Brain
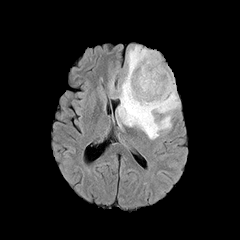
FLAIR MRI.
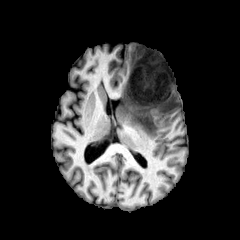
T1-weighted MRI.
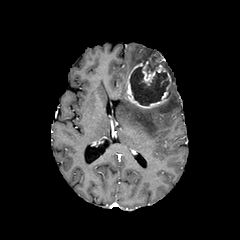
Post-contrast T1-weighted MRI.
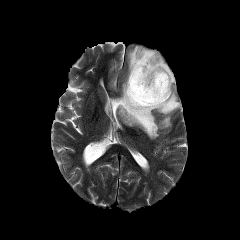
T2-weighted MRI.
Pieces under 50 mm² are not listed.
<segmentation>
  <peritumoral_edema>box(118, 45, 180, 139)</peritumoral_edema>
  <enhancing_tumor>box(124, 51, 171, 108)</enhancing_tumor>
  <necrotic_tumor_core>box(130, 66, 169, 105); box(138, 54, 149, 65)</necrotic_tumor_core>
</segmentation>